Axial view | Head
FLAIR MR image.
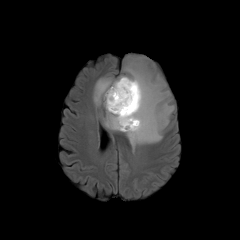
T1-weighted MRI.
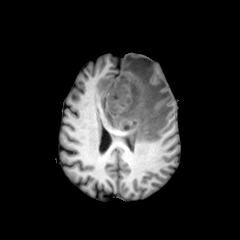
Post-contrast T1-weighted MR.
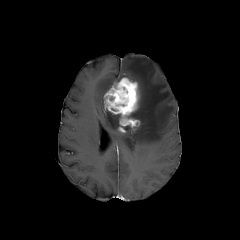
T2-weighted MR image.
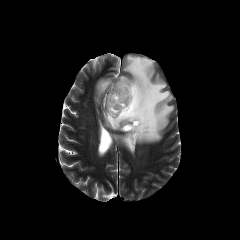
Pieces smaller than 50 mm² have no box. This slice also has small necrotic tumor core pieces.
enhancing_tumor:
  - rect(104, 77, 140, 132)
peritumoral_edema:
  - rect(103, 109, 119, 130)
  - rect(93, 56, 174, 148)